FLAIR magnetic resonance.
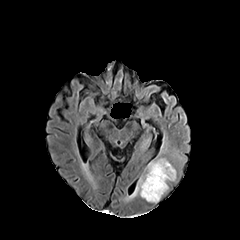
T1-weighted MR image.
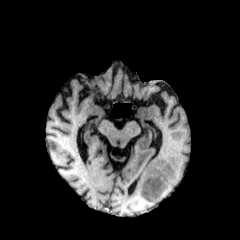
Post-contrast T1-weighted magnetic resonance.
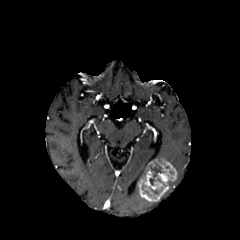
T2-weighted MRI.
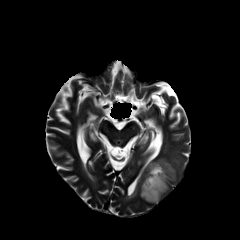
Axial plane.
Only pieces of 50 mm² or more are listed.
necrotic tumor core: (150, 166, 161, 176) | peritumoral edema: (128, 185, 138, 199) | enhancing tumor: (138, 159, 176, 201)